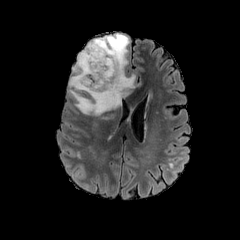
FLAIR MR.
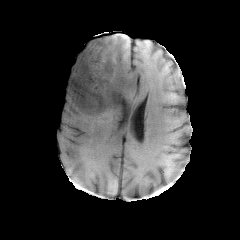
T1-weighted MRI of the same slice.
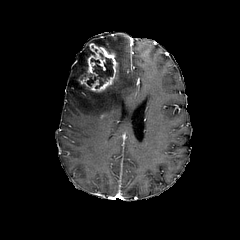
Post-contrast T1-weighted magnetic resonance.
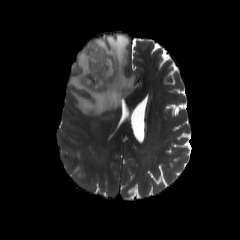
T2-weighted magnetic resonance.
Axial slice, 240x240
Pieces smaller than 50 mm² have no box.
peritumoral_edema:
  - bbox(68, 34, 135, 115)
enhancing_tumor:
  - bbox(77, 43, 118, 92)
necrotic_tumor_core:
  - bbox(83, 57, 113, 88)